FLAIR magnetic resonance.
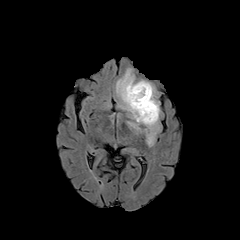
T1-weighted magnetic resonance.
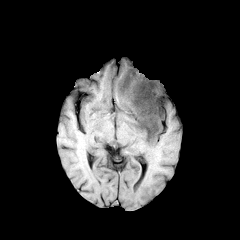
Post-contrast T1-weighted magnetic resonance.
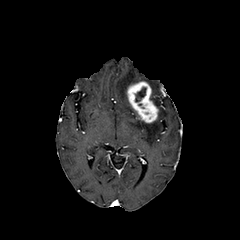
T2-weighted magnetic resonance.
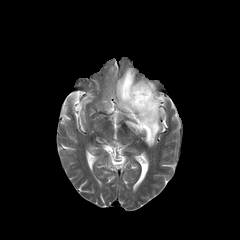
Brain.
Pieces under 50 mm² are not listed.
2 peritumoral edema regions are bounded by 147,82,159,107; 116,68,160,146. The largest necrotic tumor core region is located at 135,88,145,101. The enhancing tumor is bounded by 126,81,158,123.